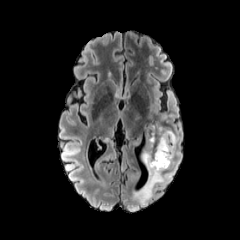
FLAIR MRI.
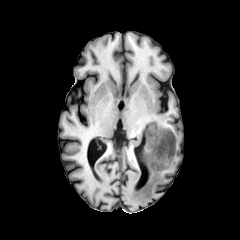
Same slice, T1-weighted MR image.
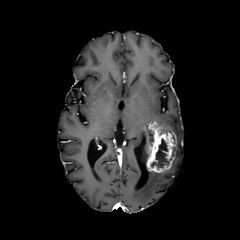
Post-contrast T1-weighted MR of the same slice.
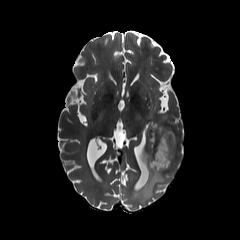
T2-weighted magnetic resonance.
Brain
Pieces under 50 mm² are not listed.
Annotated regions:
* necrotic tumor core: 151, 138, 169, 167; 148, 130, 153, 145
* peritumoral edema: 173, 133, 180, 155; 131, 172, 164, 205; 138, 131, 147, 166
* enhancing tumor: 146, 122, 176, 172